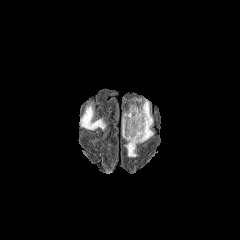
FLAIR magnetic resonance.
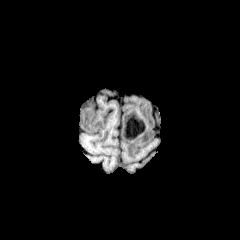
T1-weighted MR image.
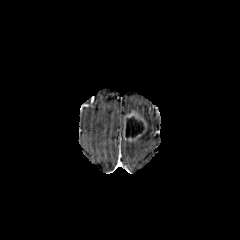
Same slice, post-contrast T1-weighted magnetic resonance.
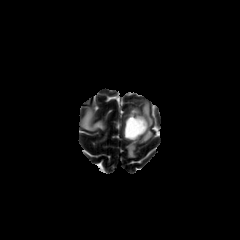
T2-weighted MRI.
Brain
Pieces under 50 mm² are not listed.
<segmentation>
  <enhancing_tumor>l=123, t=110, r=147, b=142</enhancing_tumor>
  <peritumoral_edema>l=81, t=107, r=105, b=129; l=124, t=100, r=152, b=157</peritumoral_edema>
  <necrotic_tumor_core>l=125, t=117, r=144, b=137</necrotic_tumor_core>
</segmentation>